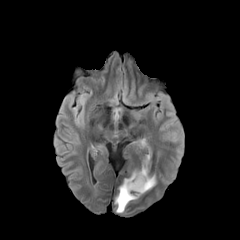
FLAIR MR image.
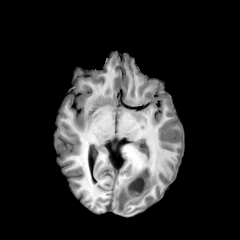
T1-weighted MR image.
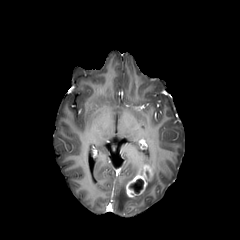
Post-contrast T1-weighted MRI.
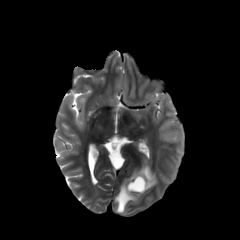
Same slice, T2-weighted MRI.
Axial view; Head
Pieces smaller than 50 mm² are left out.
<segmentation>
  <enhancing_tumor>[126,164,153,197]</enhancing_tumor>
  <peritumoral_edema>[145,174,156,191], [115,170,139,212]</peritumoral_edema>
  <necrotic_tumor_core>[129,179,143,193]</necrotic_tumor_core>
</segmentation>